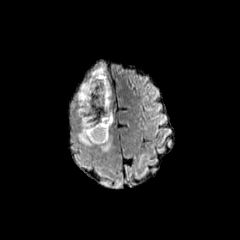
FLAIR MRI.
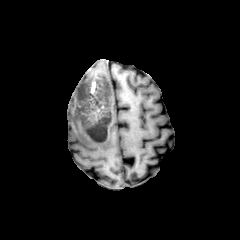
T1-weighted MR image of the same slice.
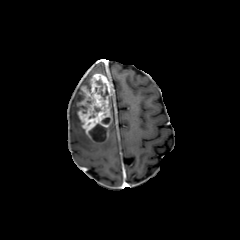
Post-contrast T1-weighted MR image.
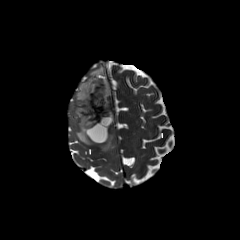
T2-weighted MR image.
240x240
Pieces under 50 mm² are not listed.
enhancing tumor: <box>77,73,112,142</box> | necrotic tumor core: <box>95,79,108,99</box>, <box>89,107,100,118</box>, <box>89,124,106,141</box> | peritumoral edema: <box>72,64,111,151</box>